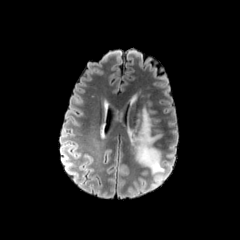
FLAIR MRI.
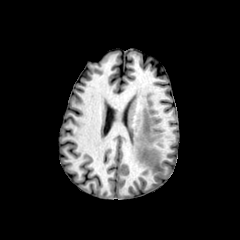
T1-weighted MRI.
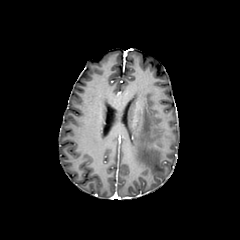
Post-contrast T1-weighted MRI of the same slice.
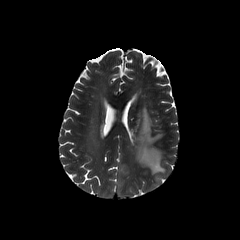
T2-weighted MR image.
240x240 px | Axial plane
Annotated regions:
- peritumoral edema: (x1=129, y1=109, x2=164, y2=173)